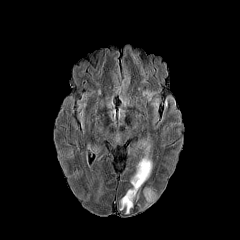
FLAIR MRI.
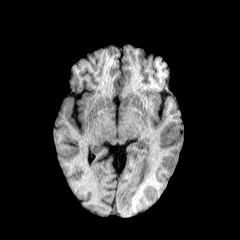
Same slice, T1-weighted MR.
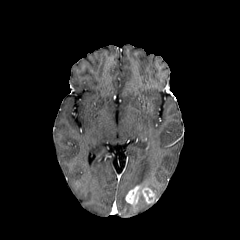
Same slice, post-contrast T1-weighted MR.
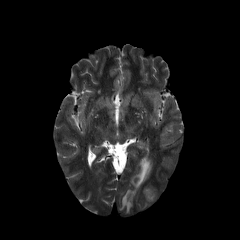
Same slice, T2-weighted MR.
Image size 240x240
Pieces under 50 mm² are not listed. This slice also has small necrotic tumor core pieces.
{
  "peritumoral_edema": [
    "[x1=119, y1=195, x2=133, y2=213]",
    "[x1=126, y1=145, x2=152, y2=194]"
  ],
  "enhancing_tumor": [
    "[x1=142, y1=187, x2=155, y2=203]",
    "[x1=125, y1=185, x2=140, y2=204]"
  ]
}